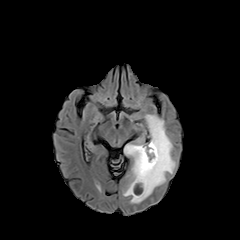
FLAIR MRI.
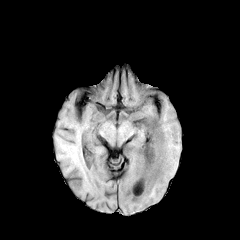
Same slice, T1-weighted MRI.
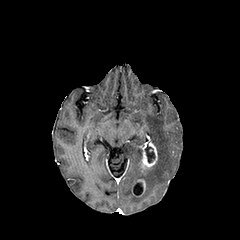
Post-contrast T1-weighted MRI.
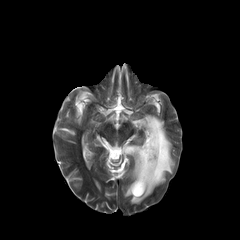
T2-weighted MR of the same slice.
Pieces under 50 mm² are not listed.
peritumoral edema: bbox(123, 114, 175, 203)
necrotic tumor core: bbox(133, 182, 143, 195); bbox(145, 144, 155, 162)
enhancing tumor: bbox(137, 179, 145, 195); bbox(139, 141, 157, 172)